Axial slice, Head
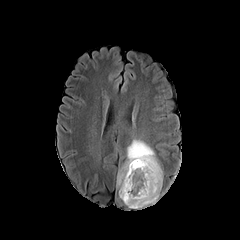
FLAIR MR image.
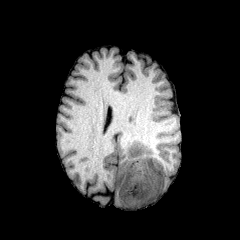
T1-weighted MR of the same slice.
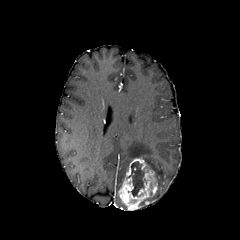
Post-contrast T1-weighted MR image.
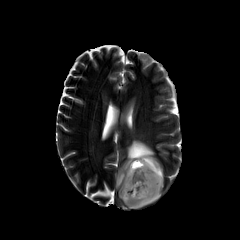
Same slice, T2-weighted MR.
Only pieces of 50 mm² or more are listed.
peritumoral edema = region(117, 139, 163, 197)
enhancing tumor = region(118, 158, 157, 210)
necrotic tumor core = region(128, 161, 144, 196)